Image covers 240 mm x 240 mm; Brain; Image size 240x240
FLAIR MR.
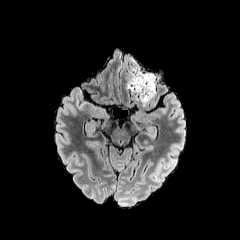
T1-weighted MR.
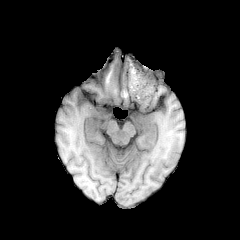
Post-contrast T1-weighted magnetic resonance.
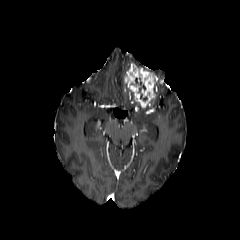
T2-weighted MR image.
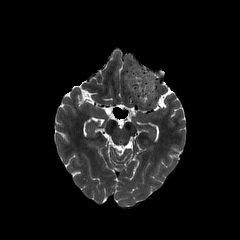
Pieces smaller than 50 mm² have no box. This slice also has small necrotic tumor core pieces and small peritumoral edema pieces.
enhancing tumor: x1=124, y1=63, x2=155, y2=107